FLAIR MR.
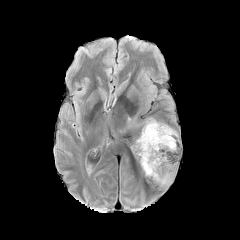
T1-weighted magnetic resonance.
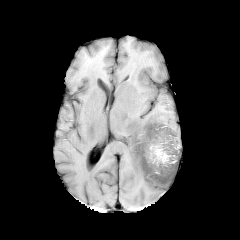
Post-contrast T1-weighted MR.
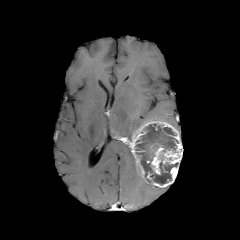
T2-weighted MR.
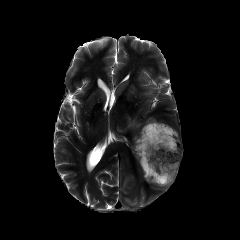
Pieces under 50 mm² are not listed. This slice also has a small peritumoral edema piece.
necrotic_tumor_core:
  - 136, 124, 178, 184
enhancing_tumor:
  - 128, 119, 182, 187